Slice 129/155 | Head | Axial slice
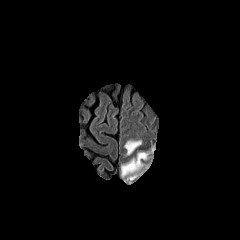
FLAIR magnetic resonance.
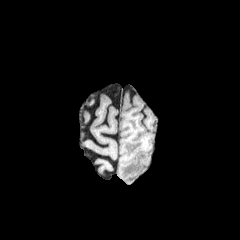
Same slice, T1-weighted MR image.
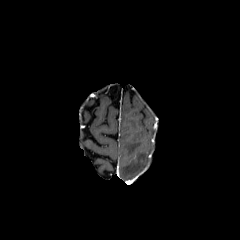
Post-contrast T1-weighted MR image of the same slice.
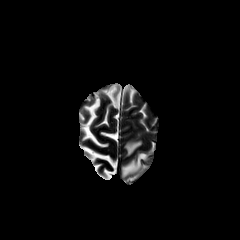
Same slice, T2-weighted MR.
{
  "peritumoral_edema": [
    "[124,140,141,154]",
    "[121,152,147,179]"
  ]
}